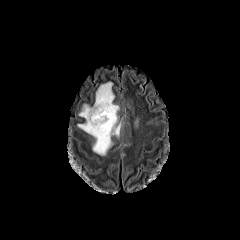
FLAIR magnetic resonance.
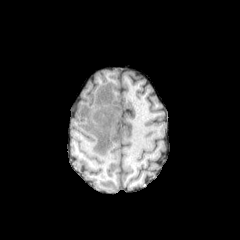
T1-weighted MRI.
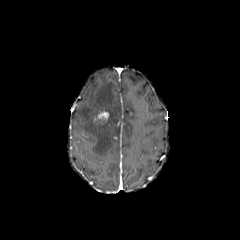
Same slice, post-contrast T1-weighted MR image.
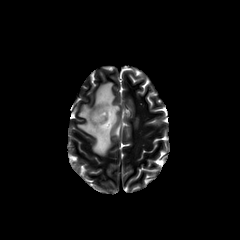
T2-weighted magnetic resonance.
Axial plane. Head.
Annotated regions:
• enhancing tumor: (left=94, top=111, right=108, bottom=121)
• peritumoral edema: (left=77, top=82, right=120, bottom=155)